Axial plane | Slice 73/155
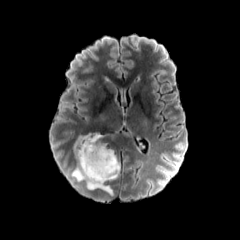
FLAIR MR image.
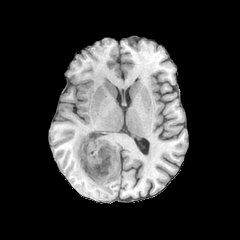
T1-weighted MR.
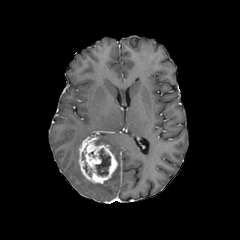
Same slice, post-contrast T1-weighted MRI.
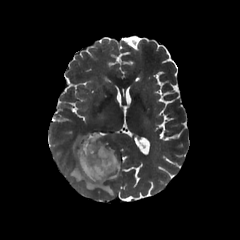
T2-weighted magnetic resonance.
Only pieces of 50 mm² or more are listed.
The largest enhancing tumor region is located at 78:135:117:183. The 2 largest peritumoral edema regions are bounded by 71:134:113:194, 107:155:119:180. The largest necrotic tumor core region appears at 95:148:110:176.